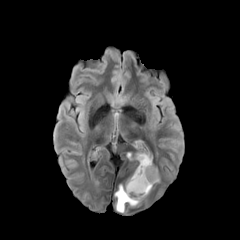
FLAIR MR image.
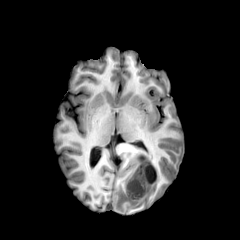
Same slice, T1-weighted MRI.
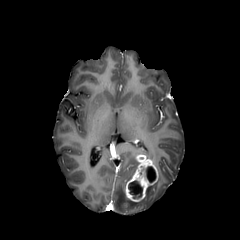
Same slice, post-contrast T1-weighted magnetic resonance.
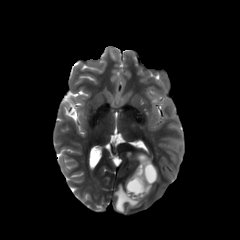
T2-weighted MR.
Head | Axial view
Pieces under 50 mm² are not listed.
Annotated regions:
* enhancing tumor: 125, 154, 158, 201
* necrotic tumor core: 146, 166, 156, 182; 128, 180, 142, 198
* peritumoral edema: 115, 185, 139, 212